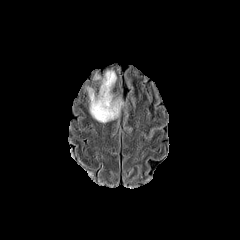
FLAIR MR.
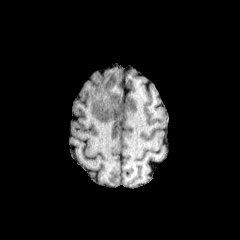
T1-weighted MRI.
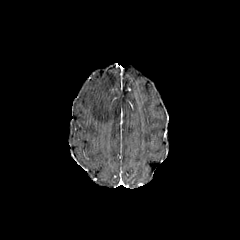
Post-contrast T1-weighted MR image of the same slice.
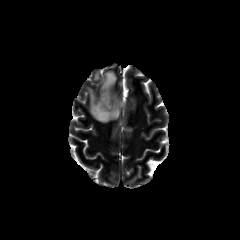
Same slice, T2-weighted MR.
Brain.
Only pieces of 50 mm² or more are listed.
{"peritumoral_edema": ["region(87, 71, 122, 122)"]}